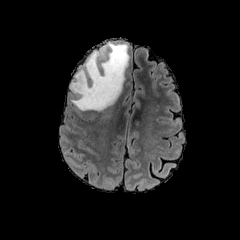
FLAIR magnetic resonance.
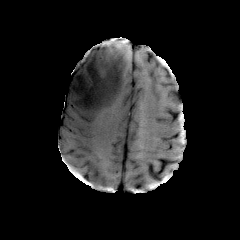
T1-weighted MR of the same slice.
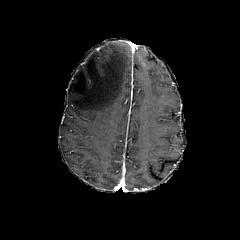
Post-contrast T1-weighted MR image of the same slice.
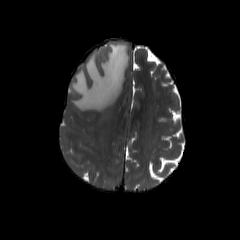
T2-weighted MR of the same slice.
Axial slice, Brain
{
  "peritumoral_edema": [
    "(x1=70, y1=41, x2=129, y2=111)"
  ]
}